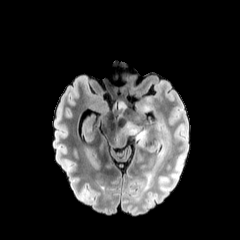
FLAIR MRI.
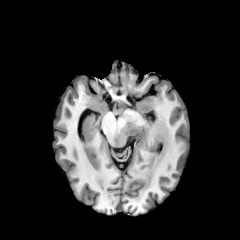
T1-weighted MRI of the same slice.
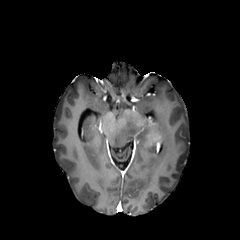
Post-contrast T1-weighted MRI of the same slice.
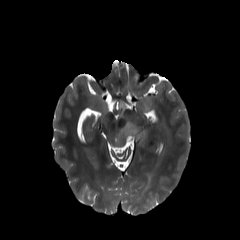
T2-weighted MR of the same slice.
240x240, Head
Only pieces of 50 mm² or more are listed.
• peritumoral edema: <bbox>118, 121, 154, 147</bbox>
• enhancing tumor: <bbox>152, 133, 161, 146</bbox>